240x240 px; Slice index 71
FLAIR MR.
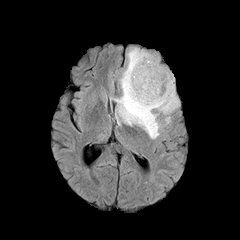
T1-weighted MR image.
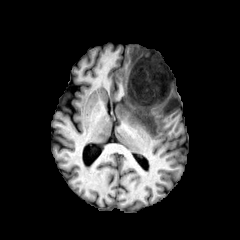
Post-contrast T1-weighted MR.
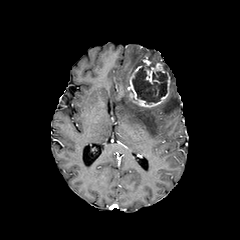
T2-weighted MR.
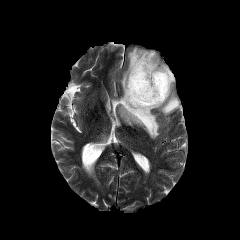
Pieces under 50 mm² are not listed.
peritumoral edema: (116,47,179,138) | enhancing tumor: (127,54,171,107) | necrotic tumor core: (132,59,167,103)